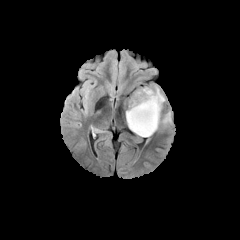
FLAIR MR.
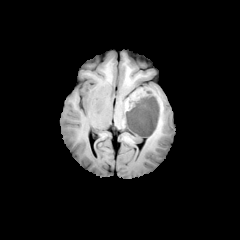
T1-weighted MRI.
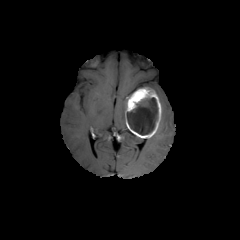
Same slice, post-contrast T1-weighted MR image.
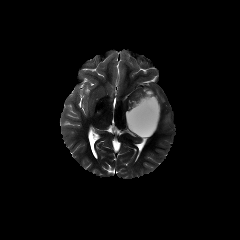
T2-weighted magnetic resonance.
The necrotic tumor core appears at 127 98 157 134. The enhancing tumor is bounded by 125 87 161 138. 2 peritumoral edema regions are located at 154 87 165 108, 162 112 171 123.